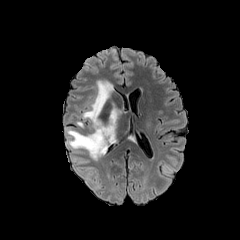
FLAIR MR.
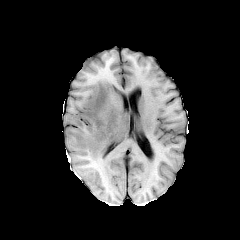
Same slice, T1-weighted MR.
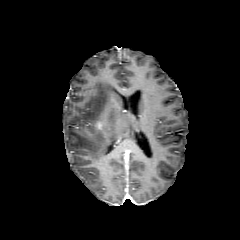
Post-contrast T1-weighted magnetic resonance.
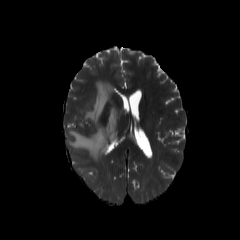
T2-weighted MR of the same slice.
Brain. 240x240.
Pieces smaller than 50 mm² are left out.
Findings:
- enhancing tumor: rect(95, 120, 108, 130)
- peritumoral edema: rect(74, 158, 88, 163); rect(66, 80, 120, 160)